FLAIR MRI.
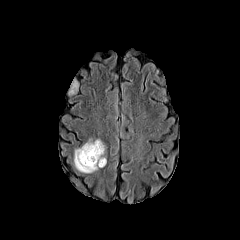
T1-weighted magnetic resonance.
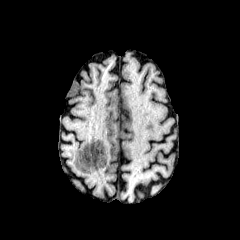
Post-contrast T1-weighted MR.
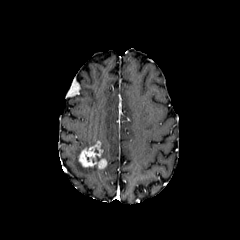
T2-weighted magnetic resonance.
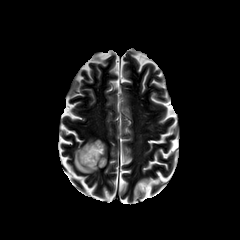
Axial slice. Brain. 240x240 px.
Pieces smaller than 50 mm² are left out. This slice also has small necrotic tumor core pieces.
Segmented structures:
• enhancing tumor: 79 141 106 168
• peritumoral edema: 74 138 106 173